Axial view
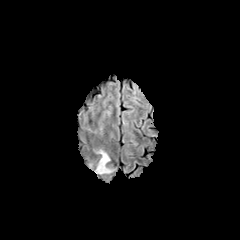
FLAIR MR.
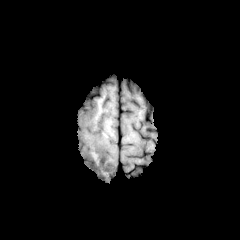
Same slice, T1-weighted MR image.
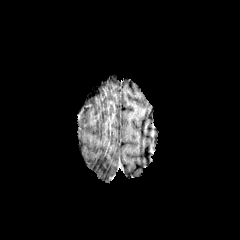
Post-contrast T1-weighted MRI.
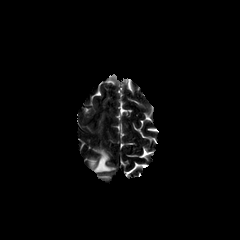
T2-weighted magnetic resonance of the same slice.
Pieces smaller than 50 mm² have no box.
The largest peritumoral edema region appears at 95, 149, 113, 173.